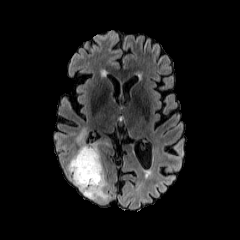
FLAIR MR image.
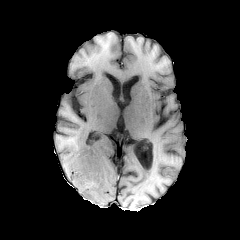
Same slice, T1-weighted magnetic resonance.
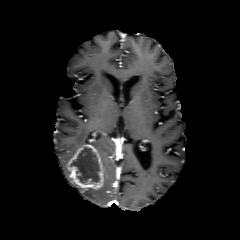
Post-contrast T1-weighted magnetic resonance.
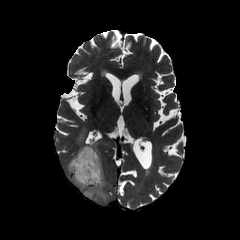
Same slice, T2-weighted MR image.
Brain
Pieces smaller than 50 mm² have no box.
necrotic_tumor_core:
  - [x1=72, y1=147, x2=99, y2=182]
enhancing_tumor:
  - [x1=69, y1=145, x2=103, y2=189]
peritumoral_edema:
  - [x1=77, y1=130, x2=85, y2=142]
  - [x1=73, y1=171, x2=109, y2=201]